Image width 240 mm
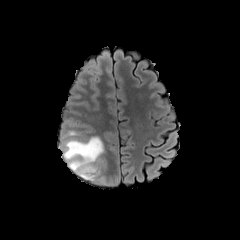
FLAIR MR image.
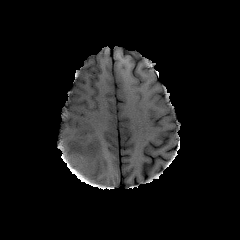
T1-weighted MRI.
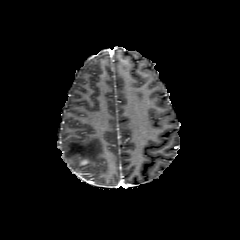
Same slice, post-contrast T1-weighted magnetic resonance.
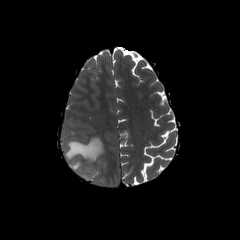
T2-weighted magnetic resonance.
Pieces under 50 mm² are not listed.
<segmentation>
  <peritumoral_edema>63:136:104:181</peritumoral_edema>
  <enhancing_tumor>73:159:92:179</enhancing_tumor>
</segmentation>